FLAIR MR.
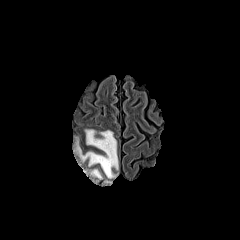
T1-weighted MR.
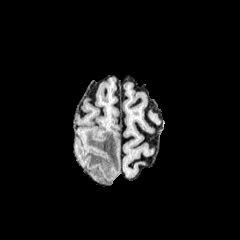
Post-contrast T1-weighted MRI.
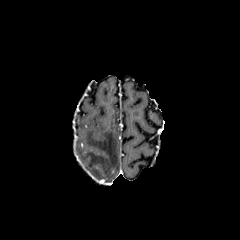
T2-weighted MRI.
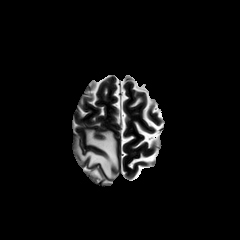
Axial slice. 240x240 px. Brain.
Segmented structures:
- peritumoral edema: bbox(76, 129, 118, 178); bbox(91, 169, 102, 179)